Head
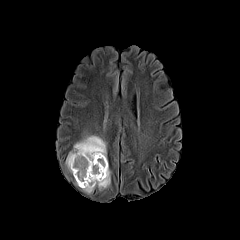
FLAIR magnetic resonance.
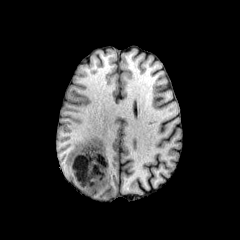
T1-weighted magnetic resonance of the same slice.
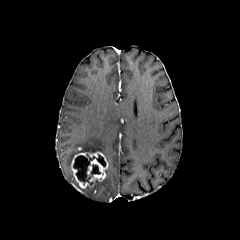
Post-contrast T1-weighted MRI of the same slice.
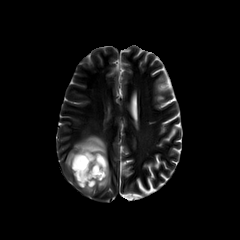
T2-weighted MRI.
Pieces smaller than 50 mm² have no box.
necrotic_tumor_core:
  - <bbox>73, 155, 95, 185</bbox>
  - <bbox>91, 164, 100, 174</bbox>
  - <bbox>96, 155, 105, 166</bbox>
enhancing_tumor:
  - <bbox>71, 151, 108, 188</bbox>
peritumoral_edema:
  - <bbox>82, 167, 110, 193</bbox>
  - <bbox>65, 135, 106, 174</bbox>